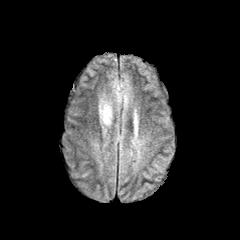
FLAIR MR.
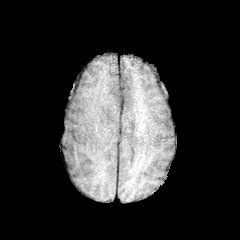
T1-weighted MR image.
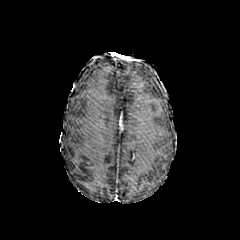
Same slice, post-contrast T1-weighted MR image.
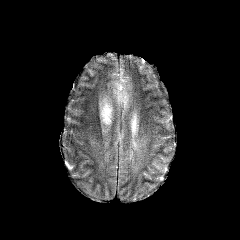
Same slice, T2-weighted magnetic resonance.
Brain. Axial slice.
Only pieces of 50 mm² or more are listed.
The 2 largest peritumoral edema regions appear at (left=99, top=98, right=112, bottom=125), (left=114, top=82, right=123, bottom=101).